FLAIR magnetic resonance.
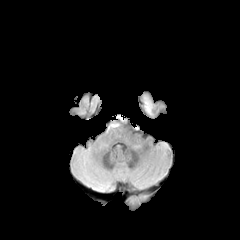
T1-weighted MR image.
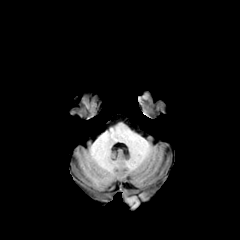
Post-contrast T1-weighted MR image.
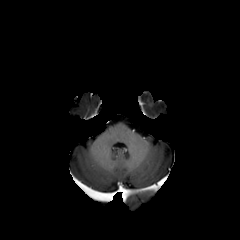
T2-weighted MRI.
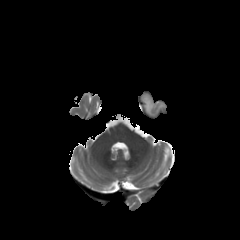
240x240, Head
The peritumoral edema is at [145,97,151,113].